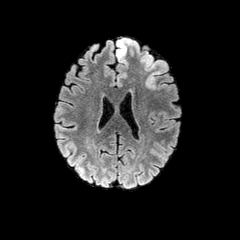
FLAIR MR.
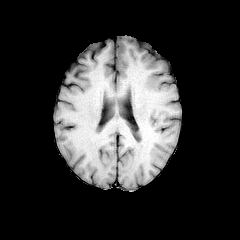
T1-weighted MRI of the same slice.
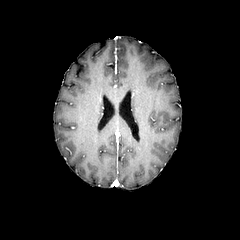
Post-contrast T1-weighted MR image.
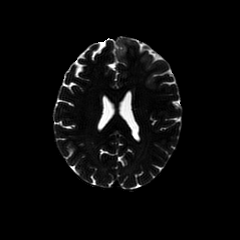
T2-weighted magnetic resonance.
Axial plane; Brain
peritumoral edema at (x1=116, y1=38, x2=139, y2=64), (x1=146, y1=72, x2=160, y2=88)